Head; Slice 104/155
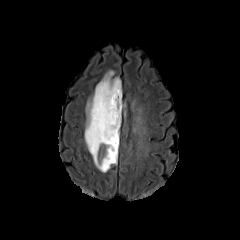
FLAIR MR image.
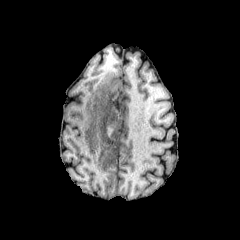
T1-weighted MR image.
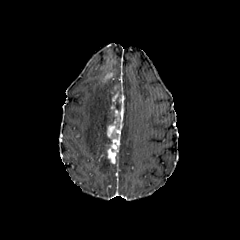
Same slice, post-contrast T1-weighted MR image.
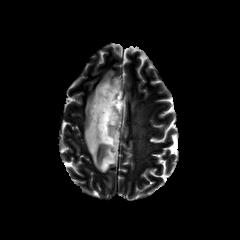
T2-weighted MR of the same slice.
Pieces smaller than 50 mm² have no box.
enhancing tumor: <box>107,83,124,163</box>, <box>102,73,114,82</box> | necrotic tumor core: <box>108,108,114,124</box>, <box>105,126,114,138</box> | peritumoral edema: <box>100,156,115,172</box>, <box>84,77,121,167</box>